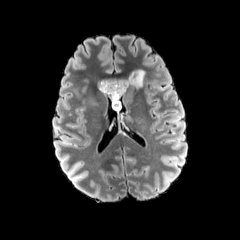
FLAIR MR image.
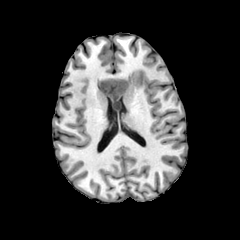
Same slice, T1-weighted MR image.
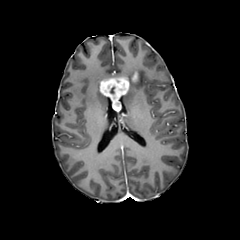
Post-contrast T1-weighted MRI of the same slice.
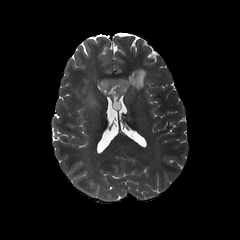
T2-weighted MRI.
Axial view, Brain
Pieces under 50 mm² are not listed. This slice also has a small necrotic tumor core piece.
The 2 largest peritumoral edema regions are bounded by left=125, top=68, right=145, bottom=90; left=72, top=87, right=97, bottom=106. 2 enhancing tumor regions are bounded by left=131, top=72, right=138, bottom=82; left=98, top=76, right=128, bottom=111.